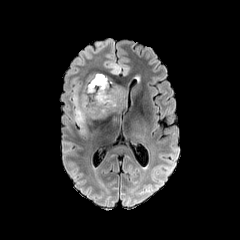
FLAIR MR image.
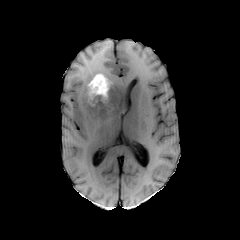
Same slice, T1-weighted MR image.
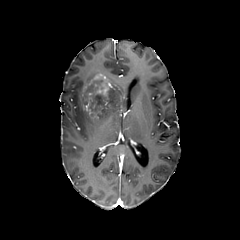
Post-contrast T1-weighted MR image of the same slice.
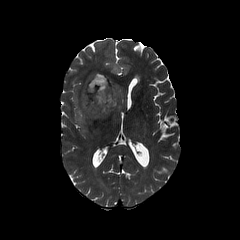
T2-weighted magnetic resonance.
Axial slice
Findings:
• necrotic tumor core: (88, 81, 101, 94)
• enhancing tumor: (83, 74, 109, 100)
• peritumoral edema: (73, 76, 127, 131), (110, 63, 119, 74), (84, 72, 100, 84)